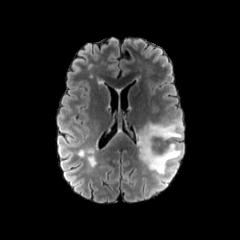
FLAIR MRI.
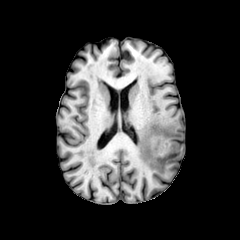
Same slice, T1-weighted MRI.
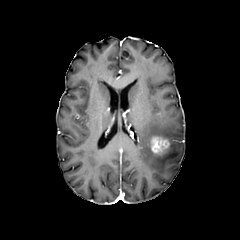
Post-contrast T1-weighted MR image of the same slice.
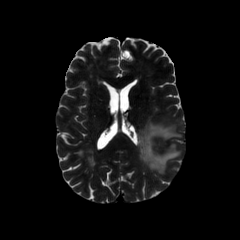
Same slice, T2-weighted MR image.
Annotated regions:
* enhancing tumor: (150,137,169,154)
* peritumoral edema: (136,119,183,173)